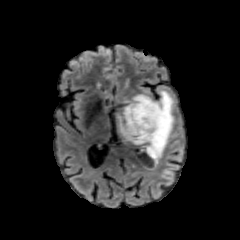
FLAIR magnetic resonance.
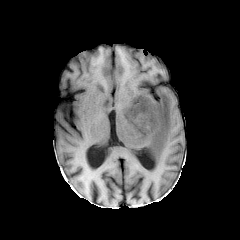
T1-weighted magnetic resonance.
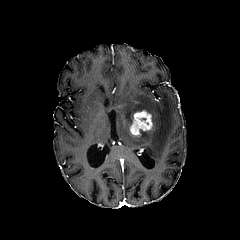
Post-contrast T1-weighted magnetic resonance.
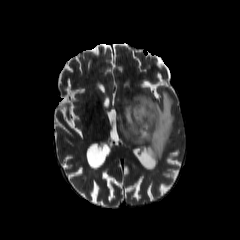
T2-weighted MR image.
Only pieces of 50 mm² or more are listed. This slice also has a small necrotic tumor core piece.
enhancing_tumor:
  - 129 110 153 135
peritumoral_edema:
  - 114 90 174 170